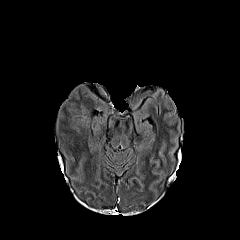
FLAIR MR image.
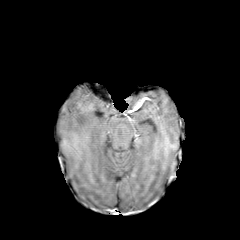
Same slice, T1-weighted magnetic resonance.
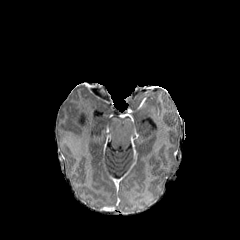
Post-contrast T1-weighted MR.
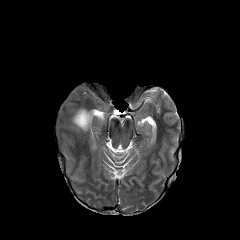
T2-weighted MR image.
Brain | Axial plane
Findings:
- peritumoral edema: x1=73 y1=108 x2=90 y2=128
- necrotic tumor core: x1=78 y1=115 x2=85 y2=124